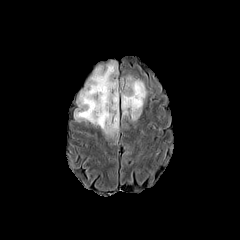
FLAIR MR image.
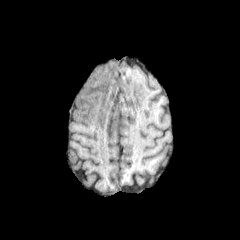
Same slice, T1-weighted MR image.
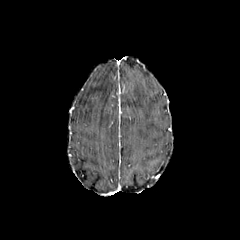
Post-contrast T1-weighted MR image.
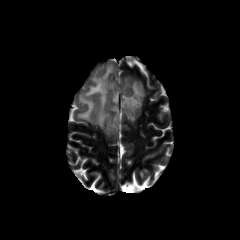
T2-weighted MR image of the same slice.
Head | 240x240 px
peritumoral edema: 121, 76, 146, 120; 74, 60, 118, 135